FLAIR MRI.
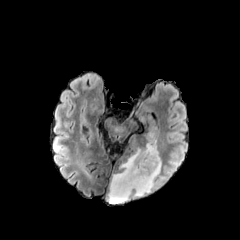
T1-weighted magnetic resonance.
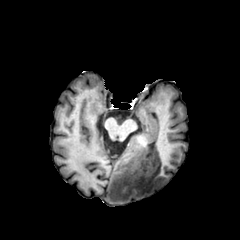
Post-contrast T1-weighted magnetic resonance.
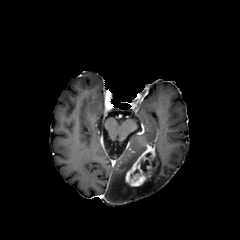
T2-weighted MR.
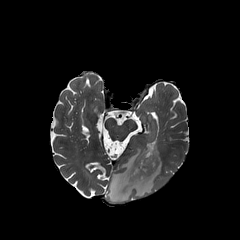
240x240
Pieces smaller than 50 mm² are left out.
{"peritumoral_edema": ["107:134:162:203"], "necrotic_tumor_core": ["140:160:149:172"], "enhancing_tumor": ["125:143:157:187"]}